Slice index 103 | 240x240 | Axial view
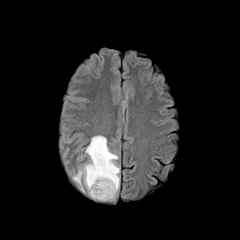
FLAIR magnetic resonance.
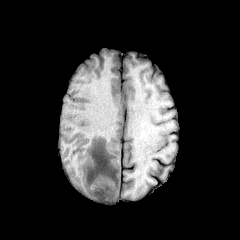
T1-weighted magnetic resonance.
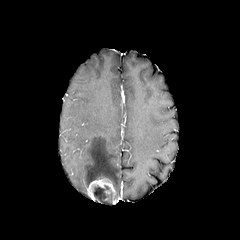
Post-contrast T1-weighted magnetic resonance.
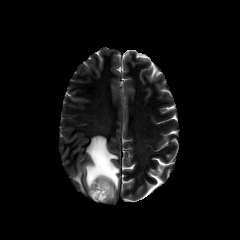
Same slice, T2-weighted MRI.
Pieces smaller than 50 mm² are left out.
enhancing_tumor:
  - {"x1": 87, "y1": 178, "x2": 115, "y2": 202}
peritumoral_edema:
  - {"x1": 73, "y1": 135, "x2": 119, "y2": 195}
necrotic_tumor_core:
  - {"x1": 94, "y1": 186, "x2": 108, "y2": 201}